FLAIR MRI.
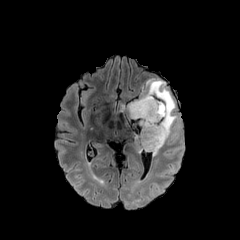
T1-weighted magnetic resonance.
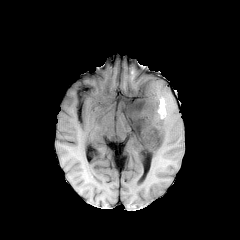
Post-contrast T1-weighted MR image.
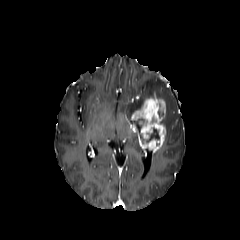
T2-weighted MRI.
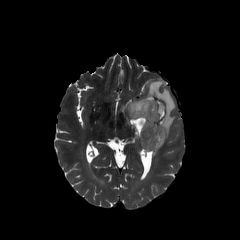
Head. Axial view.
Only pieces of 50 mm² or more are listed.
The largest necrotic tumor core region is bounded by [146,128,159,142]. The enhancing tumor appears at [131,92,166,153]. The largest peritumoral edema region appears at [127,79,177,146].